FLAIR MR image.
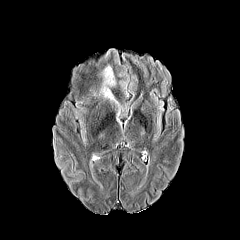
T1-weighted magnetic resonance.
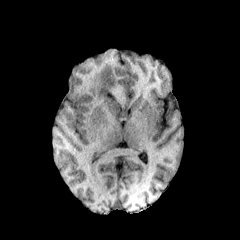
Post-contrast T1-weighted MR image.
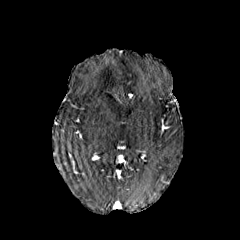
T2-weighted MR image.
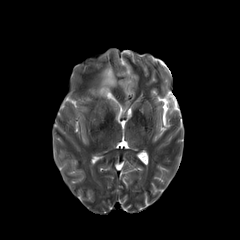
Image size 240x240 | Axial plane
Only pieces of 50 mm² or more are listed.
{"peritumoral_edema": ["box=[102, 66, 114, 85]"]}